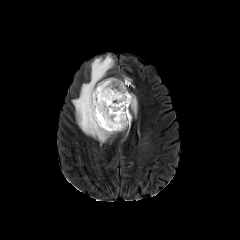
FLAIR magnetic resonance.
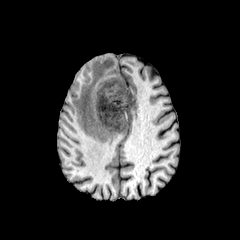
T1-weighted MR.
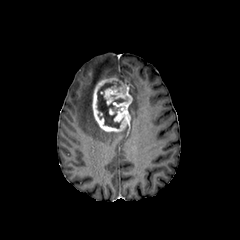
Post-contrast T1-weighted MRI.
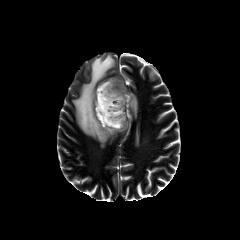
Same slice, T2-weighted MR image.
Image size 240x240; Axial plane; Head
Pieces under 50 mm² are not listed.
<segmentation>
  <necrotic_tumor_core><box>97,81,120,128</box></necrotic_tumor_core>
  <peritumoral_edema><box>129,93,137,116</box>, <box>72,55,115,143</box></peritumoral_edema>
  <enhancing_tumor><box>92,77,132,132</box></enhancing_tumor>
</segmentation>